FLAIR MR image.
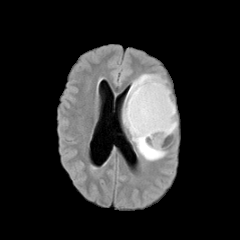
T1-weighted MRI.
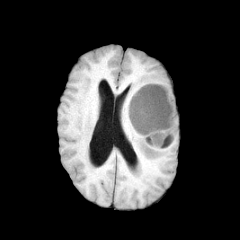
Post-contrast T1-weighted MR.
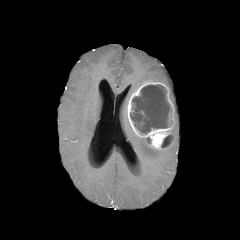
T2-weighted MR image.
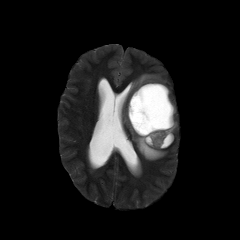
240x240 | Head
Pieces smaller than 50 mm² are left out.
<segmentation>
  <peritumoral_edema>bbox(123, 73, 166, 160); bbox(171, 104, 177, 133)</peritumoral_edema>
  <necrotic_tumor_core>bbox(130, 85, 171, 133); bbox(161, 135, 171, 147)</necrotic_tumor_core>
  <enhancing_tumor>bbox(127, 81, 174, 149)</enhancing_tumor>
</segmentation>